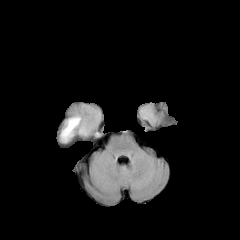
FLAIR magnetic resonance.
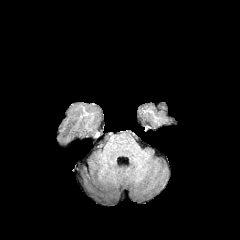
T1-weighted magnetic resonance.
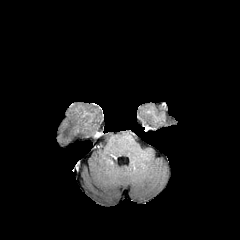
Post-contrast T1-weighted MRI.
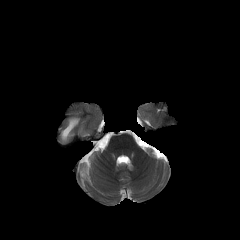
T2-weighted magnetic resonance.
Axial view | Head | Image size 240x240
2 peritumoral edema regions appear at l=79, t=127, r=87, b=135; l=60, t=116, r=80, b=142.